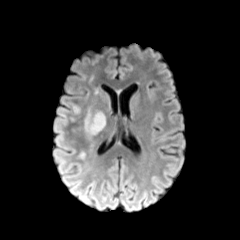
FLAIR magnetic resonance.
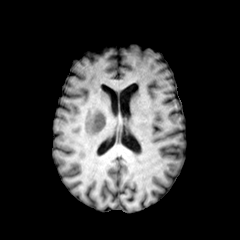
T1-weighted MRI.
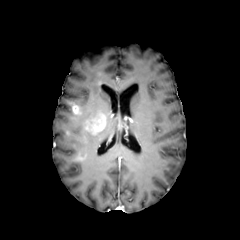
Post-contrast T1-weighted magnetic resonance.
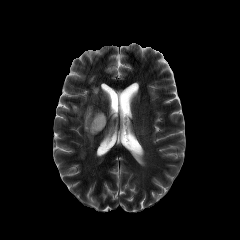
Same slice, T2-weighted MRI.
Axial view
The peritumoral edema is at [x1=85, y1=111, x2=96, y2=125]. 2 enhancing tumor regions appear at [x1=72, y1=105, x2=80, y2=114], [x1=85, y1=112, x2=105, y2=134].